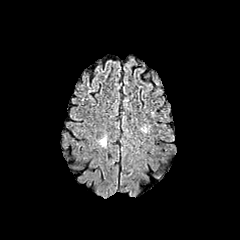
FLAIR MR image.
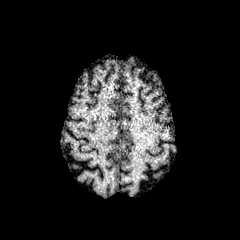
Same slice, T1-weighted MR.
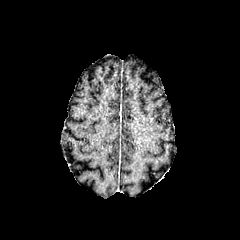
Same slice, post-contrast T1-weighted MRI.
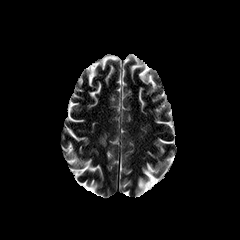
Same slice, T2-weighted MR image.
Head. Axial slice.
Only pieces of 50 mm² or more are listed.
peritumoral edema: bounding box [99,135,106,147]